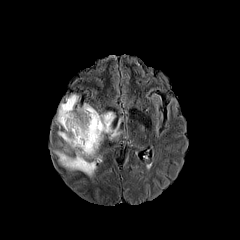
FLAIR MR.
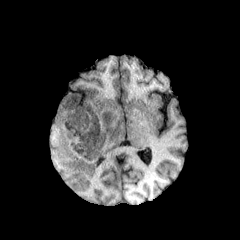
T1-weighted magnetic resonance.
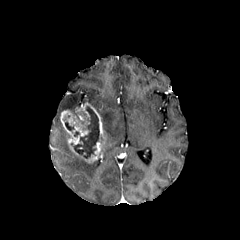
Post-contrast T1-weighted MR of the same slice.
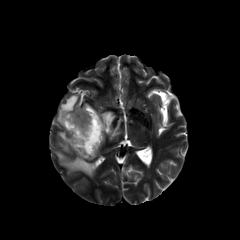
T2-weighted MRI.
Axial plane; 240x240
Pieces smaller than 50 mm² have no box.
enhancing tumor at {"x1": 60, "y1": 103, "x2": 104, "y2": 162}
peritumoral edema at {"x1": 58, "y1": 131, "x2": 70, "y2": 151}, {"x1": 55, "y1": 151, "x2": 98, "y2": 177}, {"x1": 56, "y1": 94, "x2": 78, "y2": 126}, {"x1": 100, "y1": 111, "x2": 120, "y2": 139}
necrotic tumor core at {"x1": 73, "y1": 106, "x2": 99, "y2": 158}